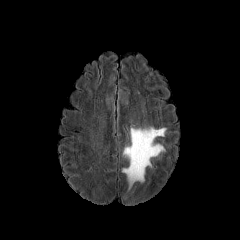
FLAIR MRI.
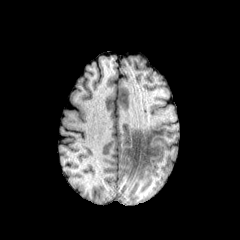
T1-weighted magnetic resonance.
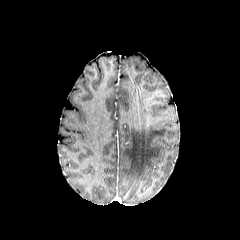
Post-contrast T1-weighted MR image.
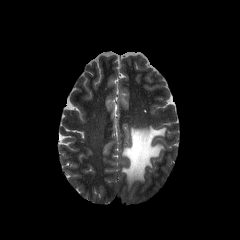
T2-weighted MR.
Axial view
<segmentation>
  <peritumoral_edema>x1=122, y1=126, x2=166, y2=187</peritumoral_edema>
</segmentation>